FLAIR magnetic resonance.
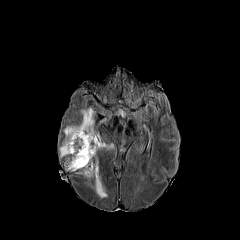
T1-weighted MR.
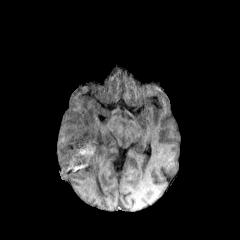
Post-contrast T1-weighted MRI.
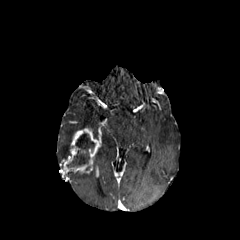
T2-weighted MR.
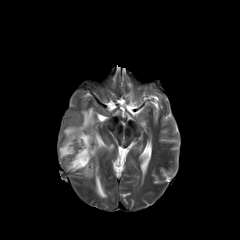
Brain, Axial view
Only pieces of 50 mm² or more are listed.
peritumoral edema: <bbox>82, 157, 107, 197</bbox>, <bbox>101, 142, 113, 149</bbox>, <bbox>59, 108, 97, 158</bbox>
necrotic tumor core: <bbox>67, 133, 94, 167</bbox>
enhancing tumor: <bbox>63, 127, 102, 173</bbox>